Axial slice, Brain
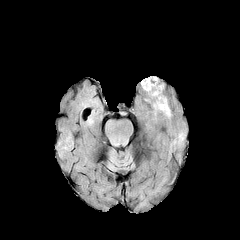
FLAIR magnetic resonance.
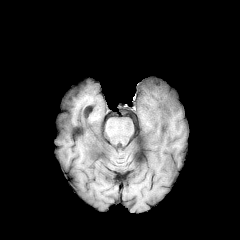
Same slice, T1-weighted MRI.
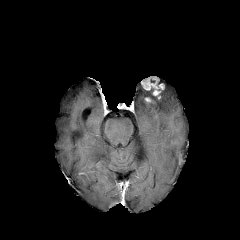
Post-contrast T1-weighted MR image.
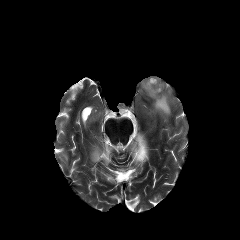
T2-weighted MR image.
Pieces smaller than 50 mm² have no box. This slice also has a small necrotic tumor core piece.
The largest enhancing tumor region is located at [141,76,161,95]. The largest peritumoral edema region is bounded by [146,90,170,117].